Head.
FLAIR MR.
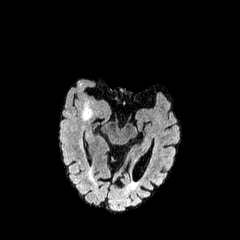
T1-weighted MR image.
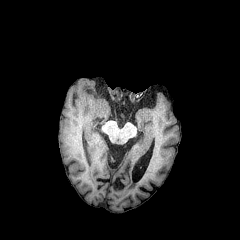
Post-contrast T1-weighted MRI.
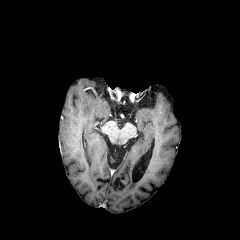
T2-weighted MR.
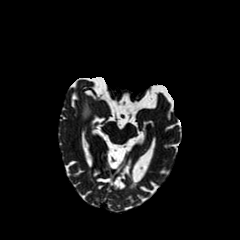
{
  "peritumoral_edema": [
    "[x1=83, y1=106, x2=92, y2=120]"
  ]
}